Axial slice, Head
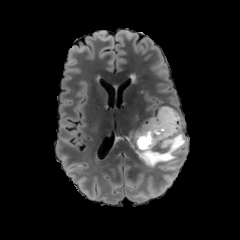
FLAIR MR.
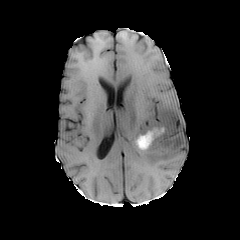
T1-weighted MRI.
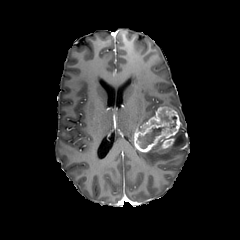
Same slice, post-contrast T1-weighted MR.
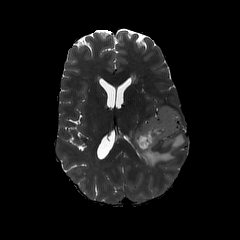
T2-weighted magnetic resonance of the same slice.
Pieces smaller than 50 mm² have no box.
enhancing tumor at l=133, t=106, r=180, b=152
peritumoral edema at l=137, t=121, r=185, b=167
necrotic tumor core at l=139, t=127, r=164, b=147